FLAIR MR.
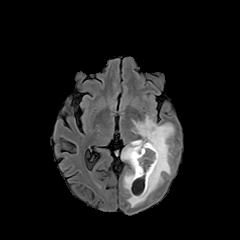
T1-weighted MRI.
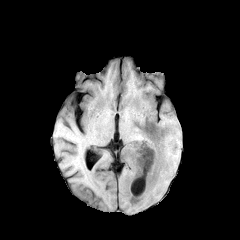
Post-contrast T1-weighted magnetic resonance.
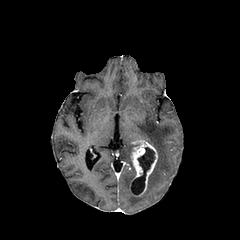
T2-weighted magnetic resonance.
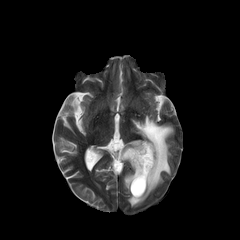
Axial plane, 240x240 px
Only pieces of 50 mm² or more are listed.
peritumoral edema: bbox(121, 115, 174, 207) | enhancing tumor: bbox(130, 140, 158, 196) | necrotic tumor core: bbox(132, 147, 154, 195)